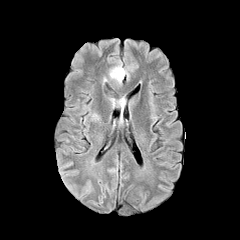
FLAIR MR image.
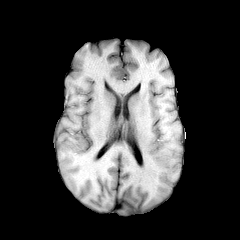
T1-weighted MRI.
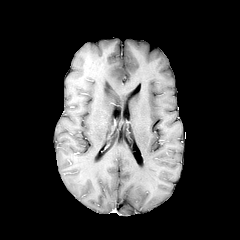
Post-contrast T1-weighted MR of the same slice.
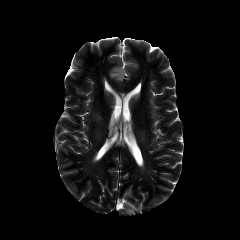
T2-weighted MR image of the same slice.
Brain | 240x240 px
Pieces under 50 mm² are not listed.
The largest peritumoral edema region is bounded by [109, 65, 127, 83].